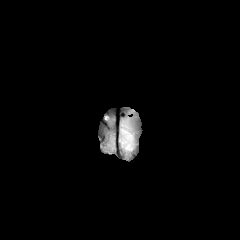
FLAIR MRI.
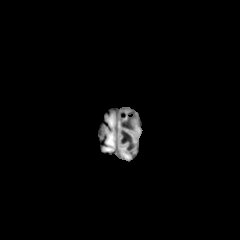
T1-weighted MR image of the same slice.
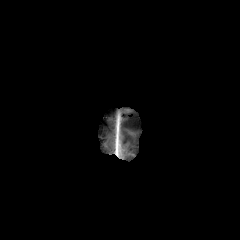
Same slice, post-contrast T1-weighted magnetic resonance.
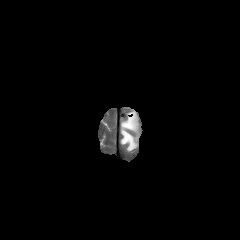
T2-weighted magnetic resonance.
Axial plane | Brain
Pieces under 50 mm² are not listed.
The largest peritumoral edema region is located at (x1=124, y1=132, x2=131, y2=144).